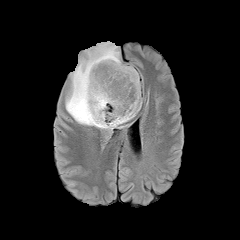
FLAIR MR image.
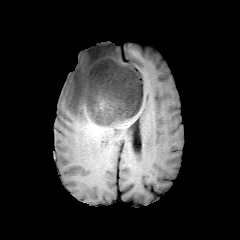
T1-weighted MR image.
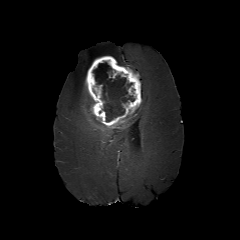
Post-contrast T1-weighted MR.
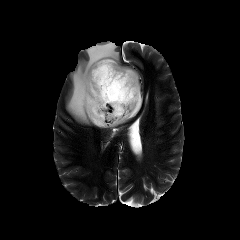
T2-weighted MR image.
Brain. 240x240 px.
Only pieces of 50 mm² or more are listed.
peritumoral_edema:
  - (125, 103, 141, 122)
  - (65, 41, 126, 130)
enhancing_tumor:
  - (85, 56, 141, 128)
necrotic_tumor_core:
  - (93, 62, 134, 121)